240x240 px; Head; Axial slice
FLAIR MR image.
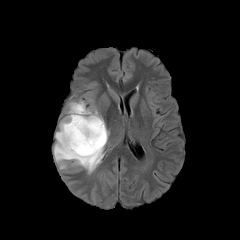
T1-weighted MR.
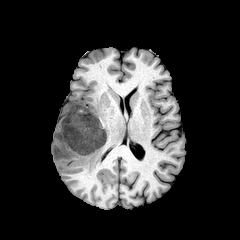
Post-contrast T1-weighted MR image.
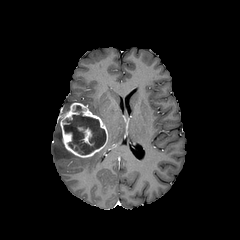
T2-weighted MR.
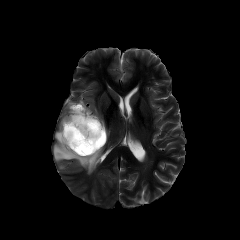
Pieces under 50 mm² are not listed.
The 2 largest peritumoral edema regions appear at <box>53,124,104,173</box>, <box>89,109,103,121</box>. The necrotic tumor core is located at <box>65,106,105,154</box>. The 2 largest enhancing tumor regions appear at <box>60,102,108,157</box>, <box>78,127,92,145</box>.